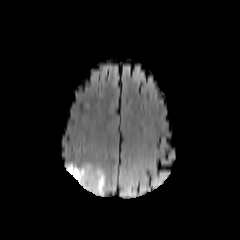
FLAIR MR image.
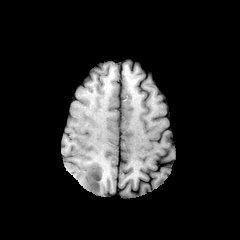
T1-weighted MRI.
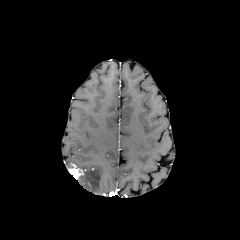
Post-contrast T1-weighted magnetic resonance of the same slice.
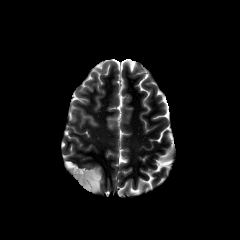
T2-weighted MR.
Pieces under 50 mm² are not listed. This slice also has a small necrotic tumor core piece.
peritumoral edema: <box>78,165,104,194</box>
enhancing tumor: <box>67,163,83,180</box>